Head.
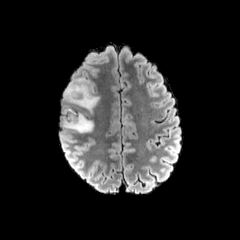
FLAIR MR image.
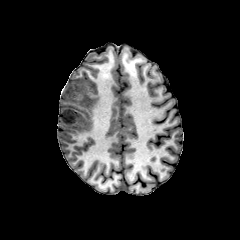
T1-weighted MRI of the same slice.
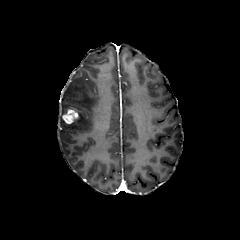
Post-contrast T1-weighted MRI of the same slice.
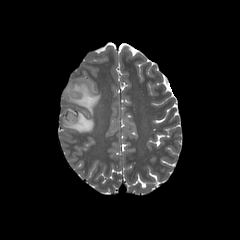
T2-weighted magnetic resonance.
enhancing tumor: <box>62,108,79,124</box> | peritumoral edema: <box>61,77,99,132</box>